Brain, 240x240, Slice index 104
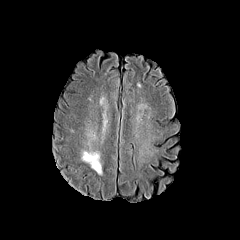
FLAIR MRI.
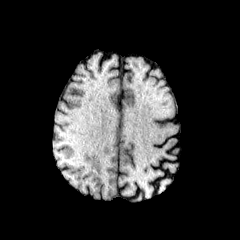
Same slice, T1-weighted magnetic resonance.
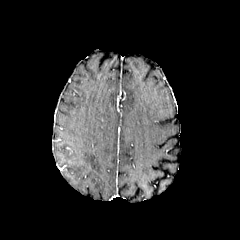
Post-contrast T1-weighted magnetic resonance of the same slice.
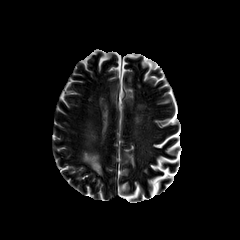
T2-weighted MR image.
The peritumoral edema appears at box(82, 151, 101, 174).